Image size 240x240. Slice 67 of 155. Head.
FLAIR MR image.
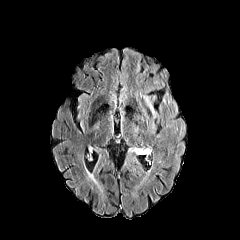
T1-weighted MR.
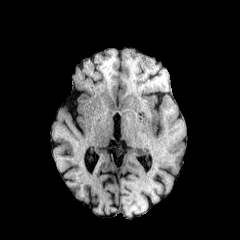
Post-contrast T1-weighted MRI.
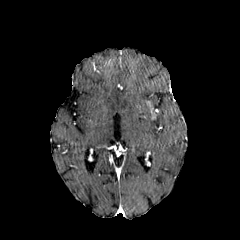
T2-weighted magnetic resonance.
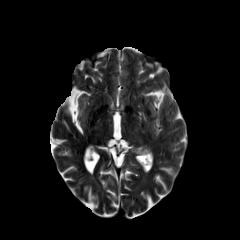
peritumoral edema = <box>134,91,156,125</box>, <box>134,148,150,154</box>